FLAIR MRI.
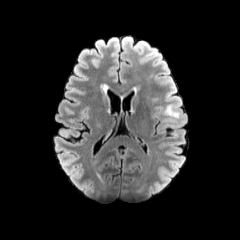
T1-weighted MRI.
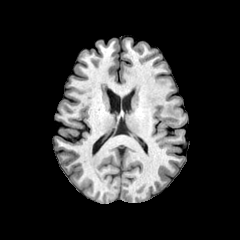
Post-contrast T1-weighted MR.
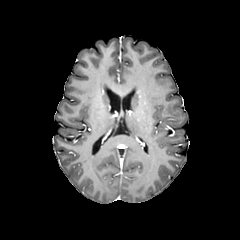
T2-weighted MR image.
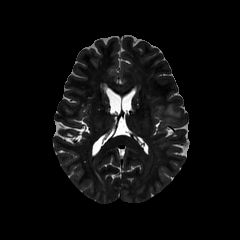
Axial plane
Annotated regions:
• peritumoral edema: (165,105,178,118)